Slice 46/155
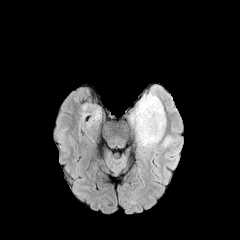
FLAIR magnetic resonance.
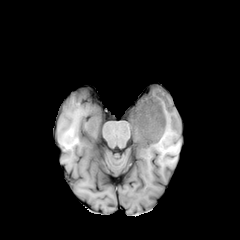
T1-weighted MR image.
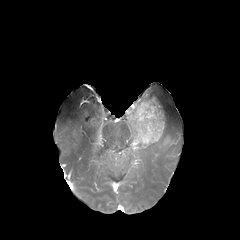
Same slice, post-contrast T1-weighted MR.
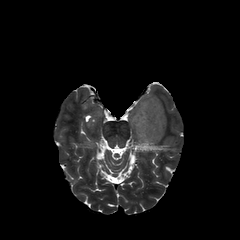
T2-weighted MR of the same slice.
enhancing tumor: 131:98:164:145
peritumoral edema: 129:108:136:138, 137:89:166:152, 161:136:172:147